Axial slice; Slice index 34; 240x240 px
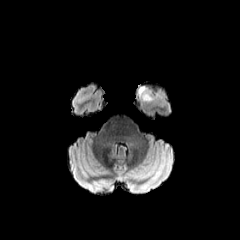
FLAIR MR.
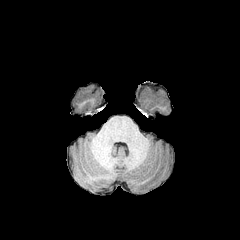
T1-weighted magnetic resonance.
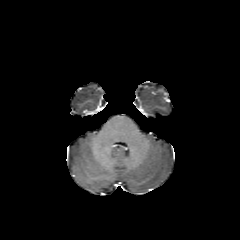
Post-contrast T1-weighted magnetic resonance.
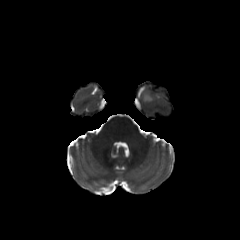
T2-weighted MR of the same slice.
peritumoral edema at (left=138, top=86, right=151, bottom=100)